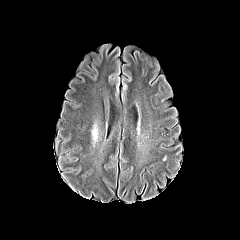
FLAIR magnetic resonance.
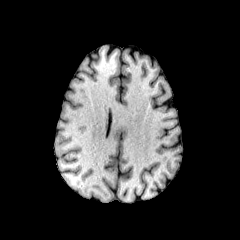
Same slice, T1-weighted MRI.
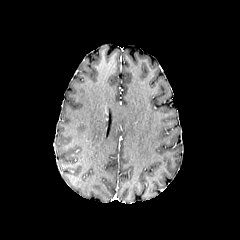
Post-contrast T1-weighted magnetic resonance.
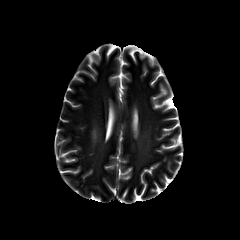
T2-weighted magnetic resonance.
Brain
* peritumoral edema: [x1=92, y1=125, x2=97, y2=142]